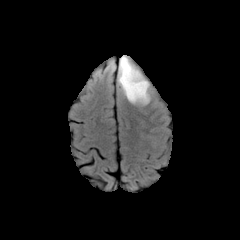
FLAIR MR.
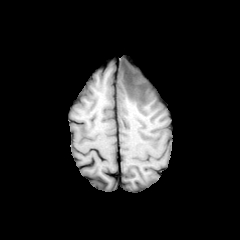
Same slice, T1-weighted magnetic resonance.
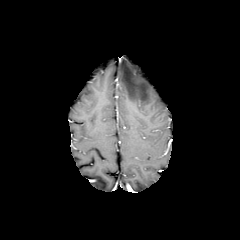
Same slice, post-contrast T1-weighted magnetic resonance.
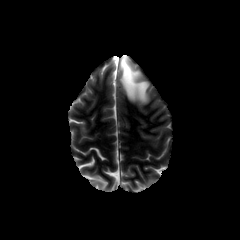
Same slice, T2-weighted MR.
- peritumoral edema: (118,56,150,104)